Slice 64/155
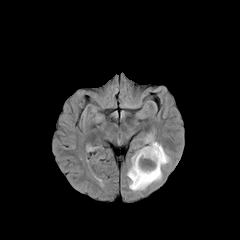
FLAIR MR image.
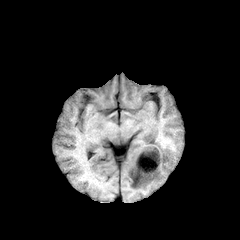
T1-weighted MR image.
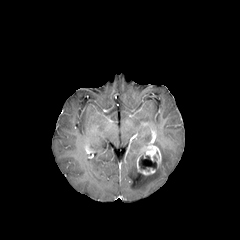
Post-contrast T1-weighted MR.
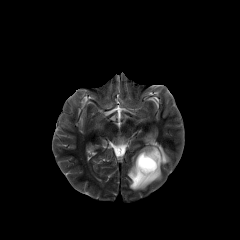
T2-weighted MR.
peritumoral edema — 145,133,152,144; 127,141,170,190
enhancing tumor — 136,143,161,175
necrotic tumor core — 139,155,157,170